FLAIR MRI.
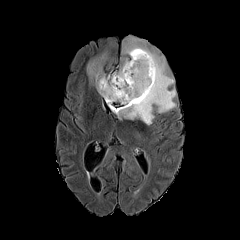
T1-weighted magnetic resonance.
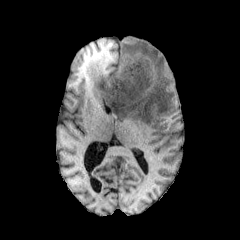
Post-contrast T1-weighted MR.
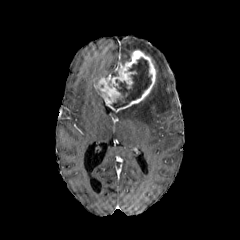
T2-weighted magnetic resonance.
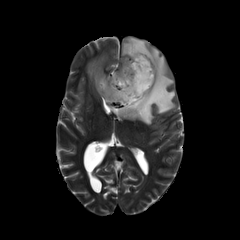
240x240. Axial view.
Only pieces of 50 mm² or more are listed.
{"peritumoral_edema": ["[x1=85, y1=47, x2=108, y2=86]", "[x1=109, y1=36, x2=176, y2=125]"], "necrotic_tumor_core": ["[x1=111, y1=57, x2=151, y2=109]"], "enhancing_tumor": ["[x1=95, y1=50, x2=156, y2=112]"]}